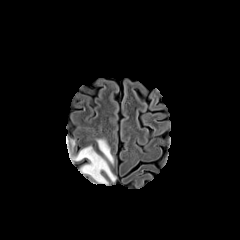
FLAIR MR.
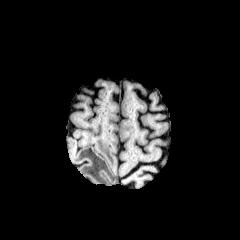
T1-weighted magnetic resonance of the same slice.
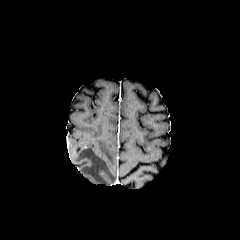
Post-contrast T1-weighted magnetic resonance.
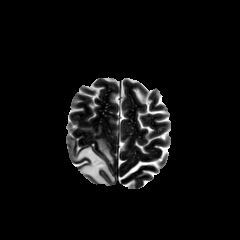
T2-weighted magnetic resonance of the same slice.
Axial plane | Brain
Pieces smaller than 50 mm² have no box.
peritumoral edema at bbox(97, 139, 113, 163); bbox(72, 146, 115, 185)